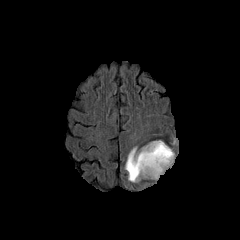
FLAIR MRI.
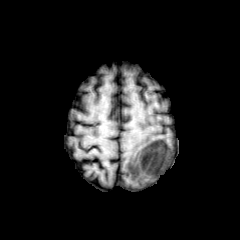
T1-weighted MR image.
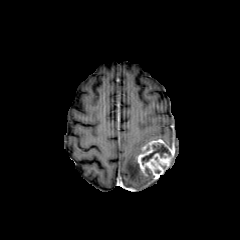
Post-contrast T1-weighted magnetic resonance.
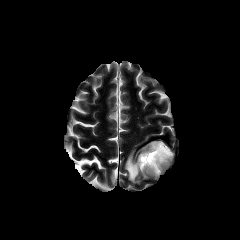
T2-weighted MR image of the same slice.
240x240; Head; Axial slice
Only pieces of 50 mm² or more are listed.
enhancing_tumor:
  - bbox=[137, 139, 174, 179]
peritumoral_edema:
  - bbox=[125, 147, 145, 182]
necrotic_tumor_core:
  - bbox=[142, 144, 170, 164]